Brain | Slice 119/155
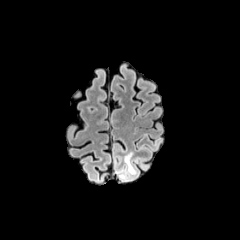
FLAIR magnetic resonance.
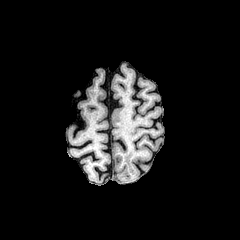
T1-weighted MR image.
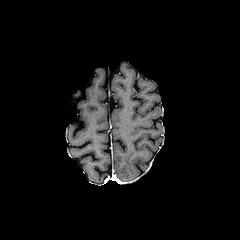
Post-contrast T1-weighted MR image.
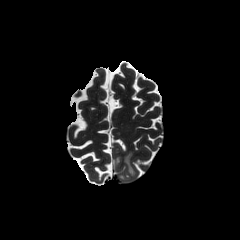
T2-weighted MR image.
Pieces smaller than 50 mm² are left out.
The largest peritumoral edema region lies within box=[125, 154, 135, 174].